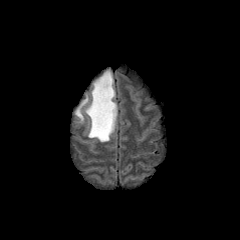
FLAIR magnetic resonance.
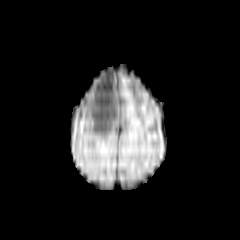
T1-weighted magnetic resonance.
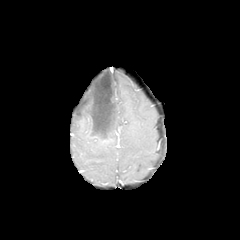
Same slice, post-contrast T1-weighted MRI.
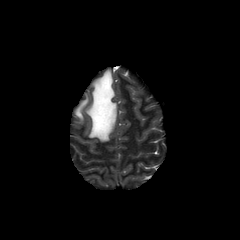
T2-weighted MR.
Axial slice, 240x240 px
peritumoral edema = box=[75, 70, 117, 142]